FLAIR MRI.
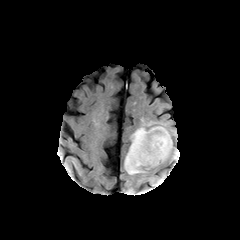
T1-weighted MRI.
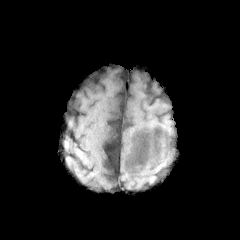
Post-contrast T1-weighted MR.
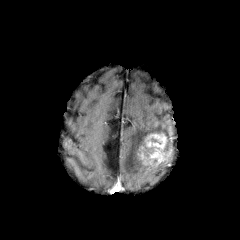
T2-weighted MRI.
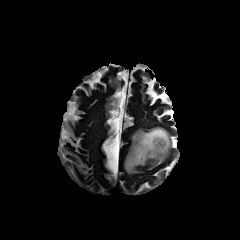
Head; Image size 240x240
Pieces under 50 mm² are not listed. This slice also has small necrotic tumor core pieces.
enhancing_tumor:
  - x1=137, y1=133, x2=170, y2=165
peritumoral_edema:
  - x1=124, y1=126, x2=172, y2=174